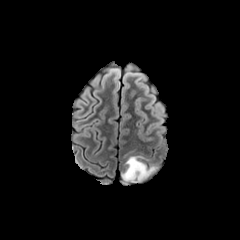
FLAIR magnetic resonance.
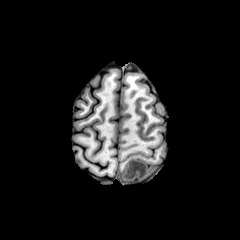
T1-weighted MR of the same slice.
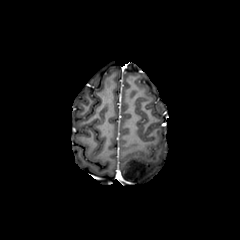
Same slice, post-contrast T1-weighted MRI.
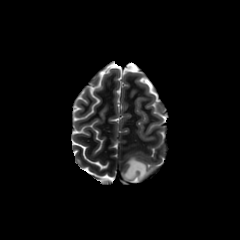
Same slice, T2-weighted MR image.
Brain
peritumoral_edema:
  - box=[122, 156, 156, 182]